Head, Slice index 41, Image width 240 mm
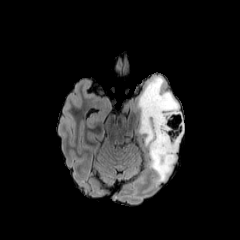
FLAIR MR image.
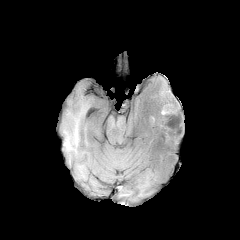
T1-weighted MR image.
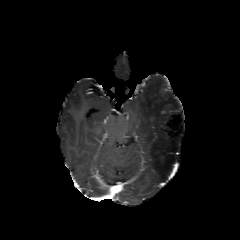
Same slice, post-contrast T1-weighted MRI.
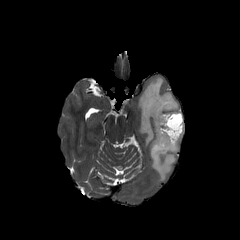
Same slice, T2-weighted MR.
The peritumoral edema is located at bbox(136, 77, 183, 182).